Brain | Image width 240 mm
FLAIR MRI.
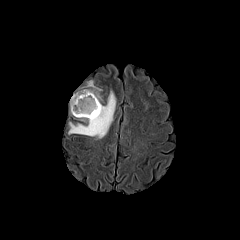
T1-weighted magnetic resonance.
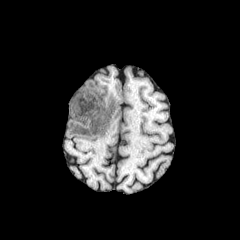
Post-contrast T1-weighted MR.
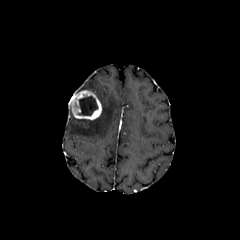
T2-weighted MR image.
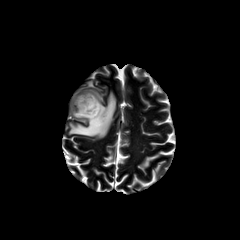
The enhancing tumor is located at bbox=[69, 90, 102, 120]. 2 peritumoral edema regions are located at bbox=[82, 80, 102, 101]; bbox=[68, 91, 116, 139]. The necrotic tumor core is located at bbox=[78, 96, 97, 115].